240x240 px. Head.
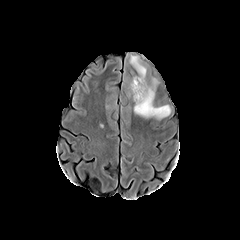
FLAIR magnetic resonance.
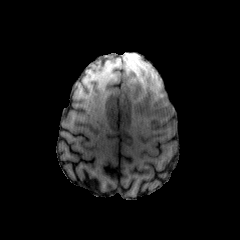
T1-weighted MR of the same slice.
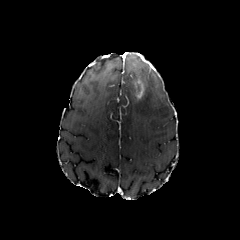
Post-contrast T1-weighted magnetic resonance.
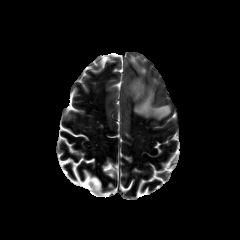
T2-weighted magnetic resonance.
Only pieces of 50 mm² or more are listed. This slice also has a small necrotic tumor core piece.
The largest peritumoral edema region lies within <bbox>134, 89, 170, 119</bbox>. The enhancing tumor appears at <bbox>134, 79, 144, 98</bbox>.